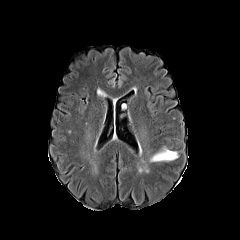
FLAIR MR.
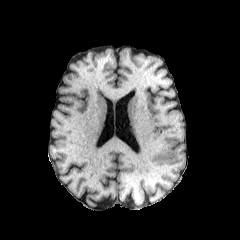
Same slice, T1-weighted MRI.
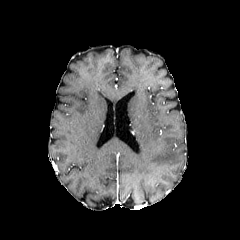
Same slice, post-contrast T1-weighted MR image.
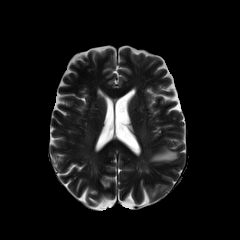
T2-weighted MRI of the same slice.
peritumoral edema: box(150, 146, 178, 161)